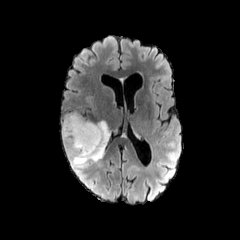
FLAIR MRI.
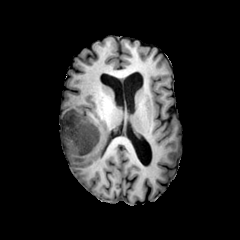
T1-weighted MRI of the same slice.
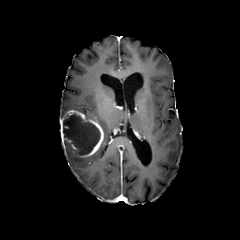
Post-contrast T1-weighted magnetic resonance.
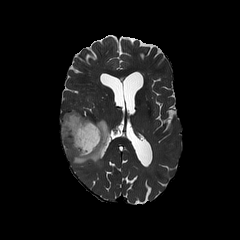
T2-weighted MR.
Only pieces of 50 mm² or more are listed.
- enhancing tumor: {"x1": 60, "y1": 109, "x2": 104, "y2": 157}
- peritumoral edema: {"x1": 64, "y1": 120, "x2": 111, "y2": 168}
- necrotic tumor core: {"x1": 63, "y1": 113, "x2": 100, "y2": 155}